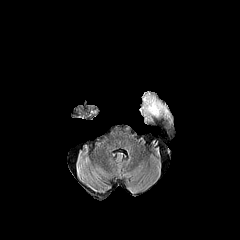
FLAIR MR image.
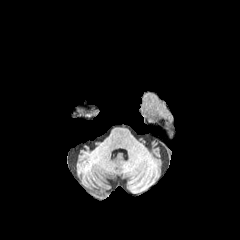
T1-weighted magnetic resonance.
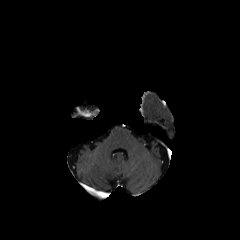
Post-contrast T1-weighted MR of the same slice.
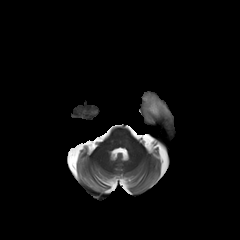
T2-weighted MR image.
Axial slice
<segmentation>
  <peritumoral_edema>147:98:167:115</peritumoral_edema>
</segmentation>